Slice 49 of 155. Image width 240 mm.
FLAIR MRI.
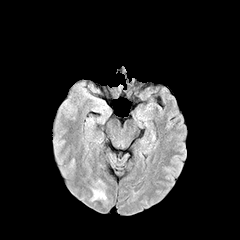
T1-weighted magnetic resonance.
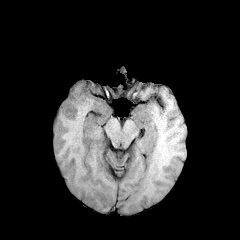
Post-contrast T1-weighted MR image.
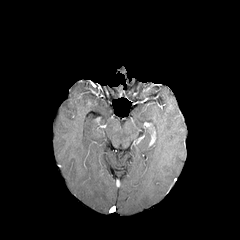
T2-weighted magnetic resonance.
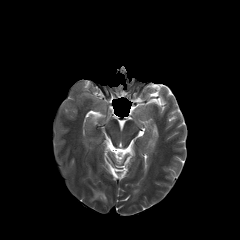
peritumoral_edema:
  - x1=93, y1=189, x2=106, y2=199